FLAIR MR.
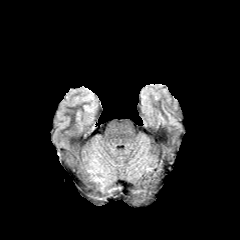
T1-weighted MR.
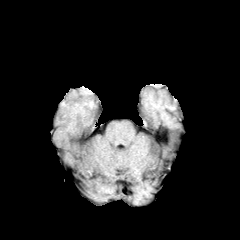
Post-contrast T1-weighted MR.
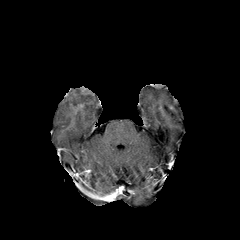
T2-weighted MR image.
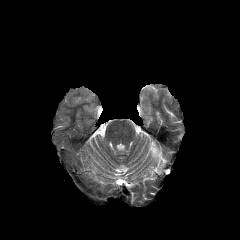
Axial slice
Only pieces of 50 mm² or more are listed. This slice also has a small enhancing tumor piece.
The largest peritumoral edema region appears at 88, 155, 102, 173.